Brain | Slice 61 of 155
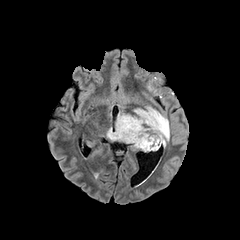
FLAIR magnetic resonance.
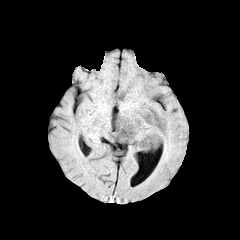
Same slice, T1-weighted MR image.
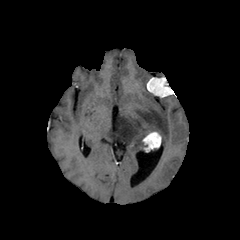
Same slice, post-contrast T1-weighted MR.
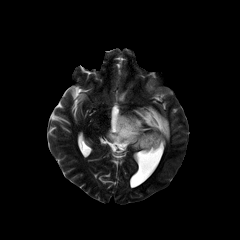
T2-weighted MR.
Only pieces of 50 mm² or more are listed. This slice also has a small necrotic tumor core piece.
* peritumoral edema: (left=106, top=106, right=169, bottom=149)
* enhancing tumor: (left=142, top=131, right=161, bottom=152)